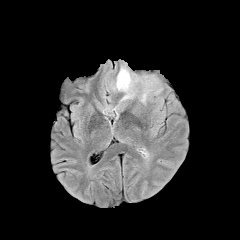
FLAIR MRI.
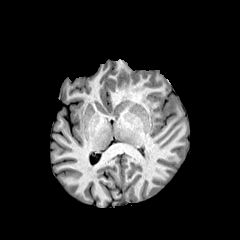
Same slice, T1-weighted MRI.
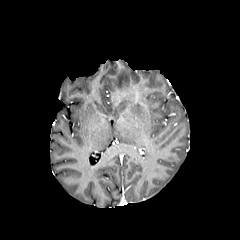
Post-contrast T1-weighted MRI.
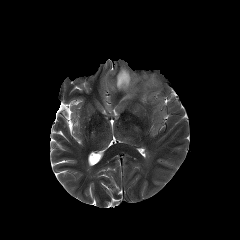
T2-weighted MR of the same slice.
Axial plane. Head.
peritumoral edema: bbox(113, 63, 165, 106)